Head | Slice index 44 | Image covers 240 mm x 240 mm | Axial slice | 240x240 px
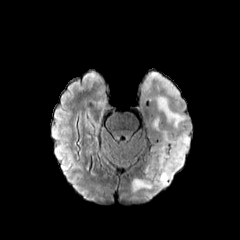
FLAIR MR image.
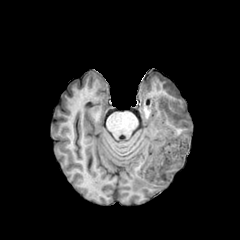
T1-weighted MR.
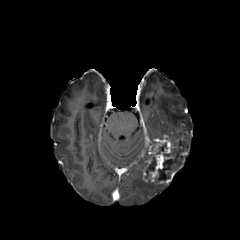
Post-contrast T1-weighted magnetic resonance.
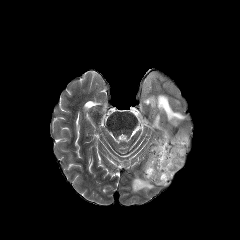
T2-weighted magnetic resonance of the same slice.
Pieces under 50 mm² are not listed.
The 3 largest peritumoral edema regions appear at 157 96 186 128, 131 177 166 192, 152 117 190 150. The largest enhancing tumor region lies within 142 134 187 185. The 3 largest necrotic tumor core regions are located at 145 155 156 178, 155 140 184 181, 155 143 166 154.